Slice index 124; Axial slice
FLAIR magnetic resonance.
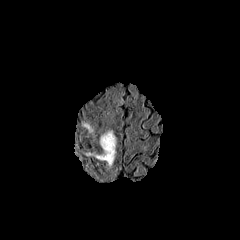
T1-weighted magnetic resonance.
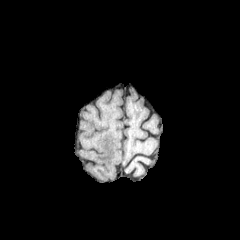
Post-contrast T1-weighted MR.
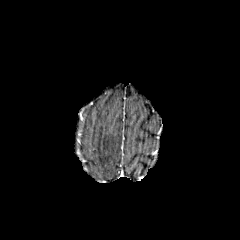
T2-weighted MR.
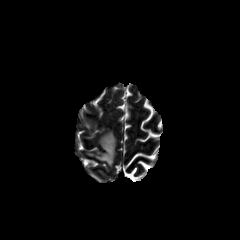
peritumoral_edema:
  - [83,129,116,166]
  - [80,121,93,133]